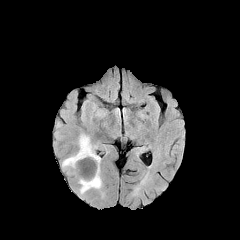
FLAIR magnetic resonance.
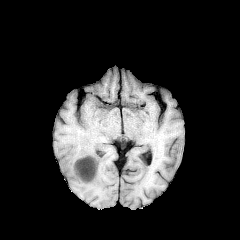
Same slice, T1-weighted magnetic resonance.
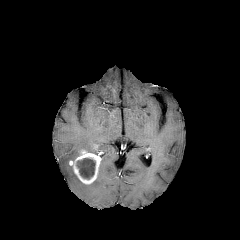
Post-contrast T1-weighted MR of the same slice.
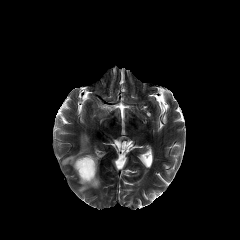
Same slice, T2-weighted magnetic resonance.
enhancing_tumor:
  - <bbox>69, 150, 100, 184</bbox>
necrotic_tumor_core:
  - <bbox>76, 158, 95, 179</bbox>
peritumoral_edema:
  - <bbox>62, 134, 94, 168</bbox>
  - <bbox>78, 166, 101, 193</bbox>